Head, 240x240, Slice 59/155, Axial slice
FLAIR MR image.
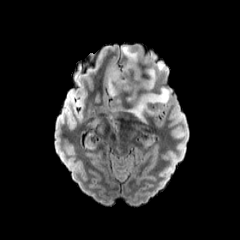
T1-weighted magnetic resonance.
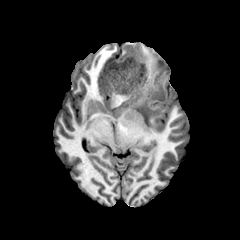
Post-contrast T1-weighted MR.
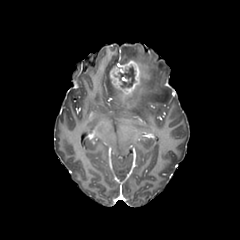
T2-weighted MRI.
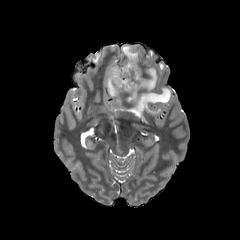
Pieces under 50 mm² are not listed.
peritumoral edema = <bbox>122, 46, 138, 61</bbox>, <bbox>106, 62, 118, 96</bbox>, <bbox>140, 67, 156, 90</bbox>, <bbox>157, 62, 167, 71</bbox>, <bbox>128, 87, 169, 120</bbox>
enhancing tumor = <bbox>109, 59, 144, 95</bbox>
necrotic tumor core = <bbox>119, 67, 134, 87</bbox>